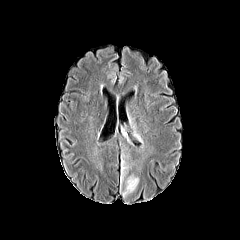
FLAIR MR image.
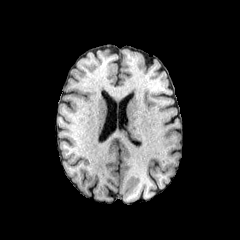
Same slice, T1-weighted magnetic resonance.
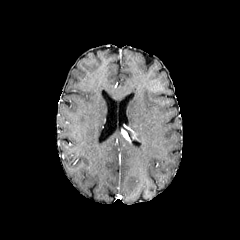
Post-contrast T1-weighted MR image.
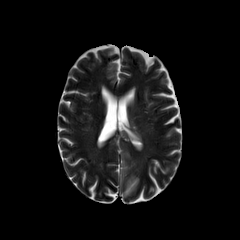
T2-weighted MR of the same slice.
240x240
{"peritumoral_edema": ["left=123, top=173, right=139, bottom=196", "left=133, top=131, right=144, bottom=143", "left=121, top=159, right=128, bottom=178"]}